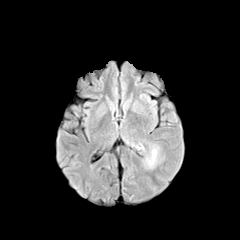
FLAIR MR image.
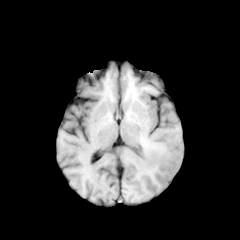
Same slice, T1-weighted MRI.
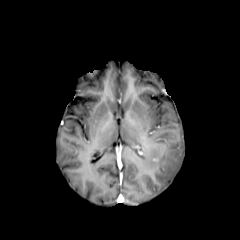
Same slice, post-contrast T1-weighted magnetic resonance.
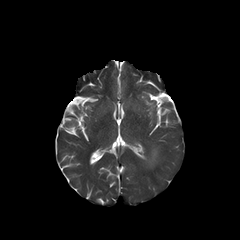
T2-weighted MR image.
Head | Axial slice
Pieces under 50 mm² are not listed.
<segmentation>
  <peritumoral_edema>145,148,157,167</peritumoral_edema>
</segmentation>